FLAIR magnetic resonance.
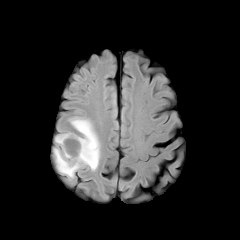
T1-weighted MR image.
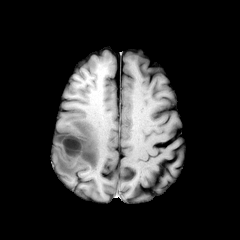
Post-contrast T1-weighted MR.
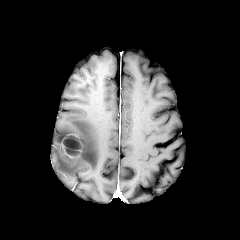
T2-weighted magnetic resonance.
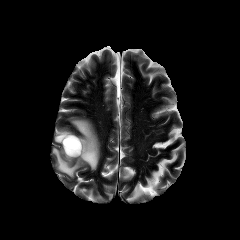
Brain. Axial plane. 240x240.
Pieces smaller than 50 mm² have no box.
<segmentation>
  <peritumoral_edema>[x1=55, y1=130, x2=72, y2=145], [x1=53, y1=117, x2=100, y2=178]</peritumoral_edema>
  <necrotic_tumor_core>[x1=65, y1=147, x2=79, y2=155], [x1=63, y1=139, x2=80, y2=149]</necrotic_tumor_core>
  <enhancing_tumor>[x1=60, y1=133, x2=82, y2=164]</enhancing_tumor>
</segmentation>